FLAIR MRI.
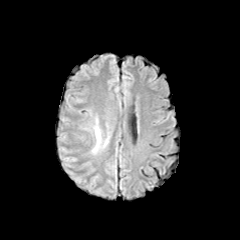
T1-weighted magnetic resonance.
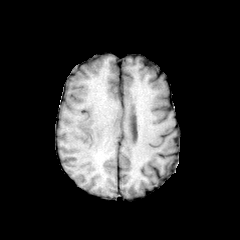
Post-contrast T1-weighted MR.
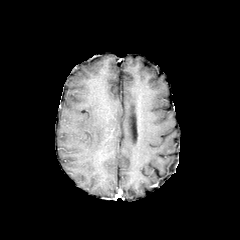
T2-weighted MR.
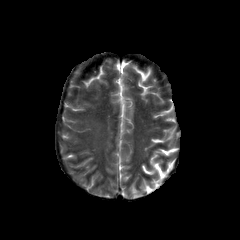
240x240. Axial plane.
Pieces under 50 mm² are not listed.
<segmentation>
  <peritumoral_edema>(left=95, top=127, right=100, bottom=143)</peritumoral_edema>
</segmentation>